FLAIR MRI.
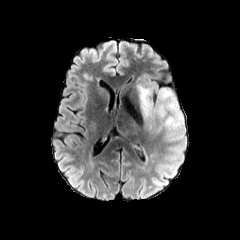
T1-weighted MR image.
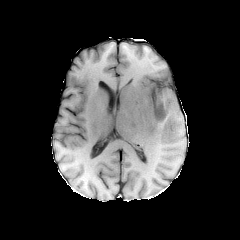
Post-contrast T1-weighted MRI.
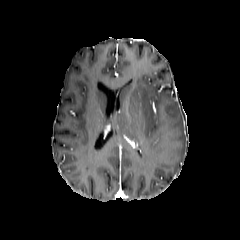
T2-weighted MR image.
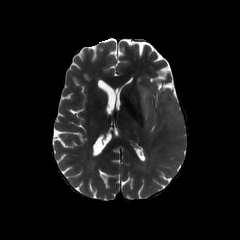
Brain
2 peritumoral edema regions are bounded by 156,88,182,129; 137,76,157,131.